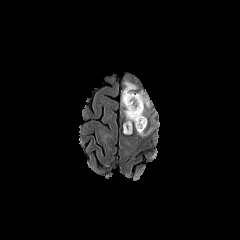
FLAIR MR image.
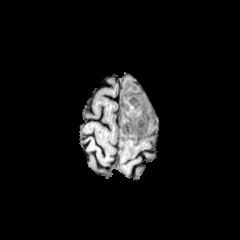
T1-weighted MR.
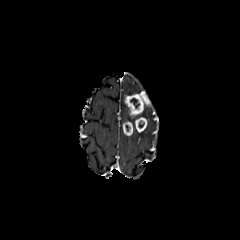
Same slice, post-contrast T1-weighted MR image.
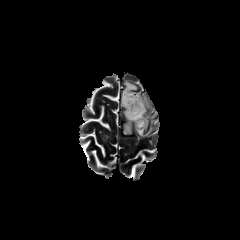
T2-weighted MR image of the same slice.
Brain. Axial view.
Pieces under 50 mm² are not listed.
peritumoral edema: rect(138, 127, 153, 136); rect(121, 81, 149, 127) | necrotic tumor core: rect(130, 98, 139, 108) | enhancing tumor: rect(124, 91, 150, 117); rect(123, 121, 133, 135); rect(135, 117, 147, 132)